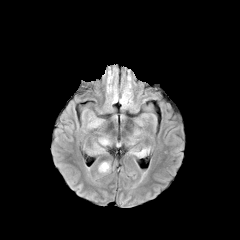
FLAIR MRI.
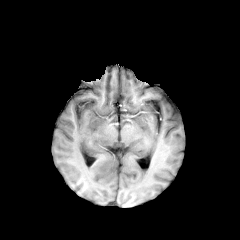
T1-weighted magnetic resonance.
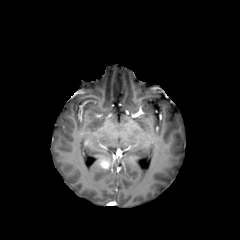
Same slice, post-contrast T1-weighted MRI.
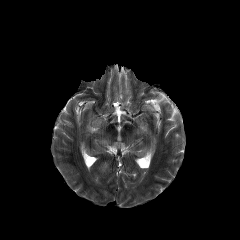
T2-weighted MR image of the same slice.
Image size 240x240
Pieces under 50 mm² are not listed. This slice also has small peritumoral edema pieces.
The enhancing tumor is bounded by (100,161,109,168).